Brain, Axial plane
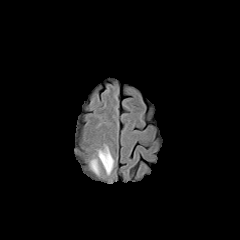
FLAIR MR image.
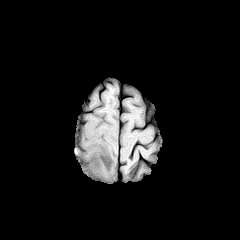
T1-weighted MR.
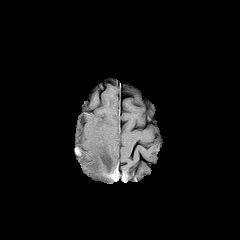
Post-contrast T1-weighted MR.
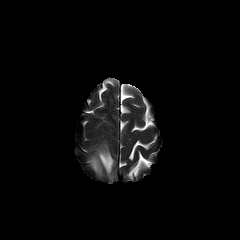
T2-weighted MR image.
2 peritumoral edema regions appear at 98, 145, 113, 174; 90, 158, 99, 174.